FLAIR MRI.
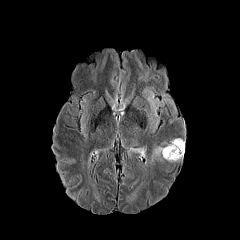
T1-weighted MR.
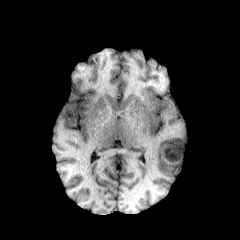
Post-contrast T1-weighted MR image.
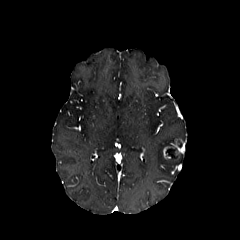
T2-weighted MR.
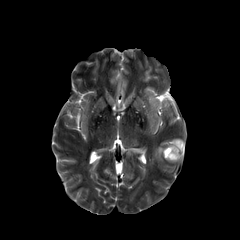
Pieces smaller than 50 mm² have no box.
Segmented structures:
• enhancing tumor: <bbox>163, 139, 183, 159</bbox>
• peritumoral edema: <bbox>154, 147, 163, 156</bbox>
• necrotic tumor core: <bbox>166, 148, 177, 159</bbox>